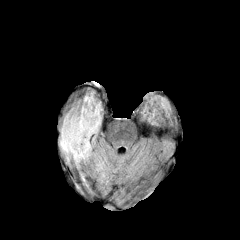
FLAIR MR.
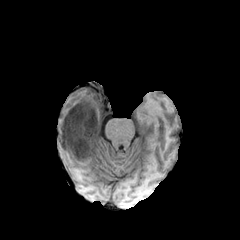
Same slice, T1-weighted MR.
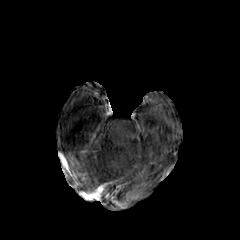
Post-contrast T1-weighted MRI.
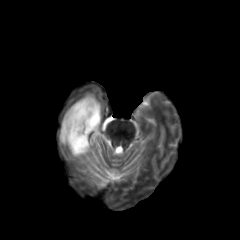
T2-weighted MR.
Head; Axial view; 240x240
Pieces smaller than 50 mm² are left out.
peritumoral edema: (left=59, top=93, right=101, bottom=158), (left=74, top=153, right=94, bottom=168) | enhancing tumor: (left=79, top=145, right=90, bottom=156) | necrotic tumor core: (left=68, top=115, right=98, bottom=154)